Image width 240 mm, Axial plane, 240x240
FLAIR MRI.
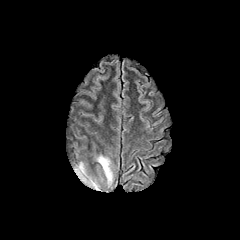
T1-weighted MRI.
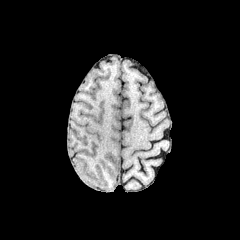
Post-contrast T1-weighted magnetic resonance.
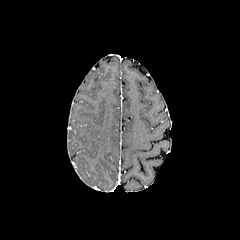
T2-weighted magnetic resonance.
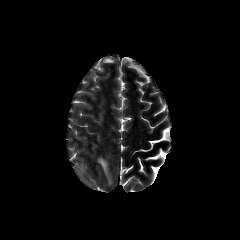
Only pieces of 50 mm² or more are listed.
The largest peritumoral edema region is located at bbox=[98, 156, 112, 184].